Image width 240 mm; Axial slice
FLAIR MR image.
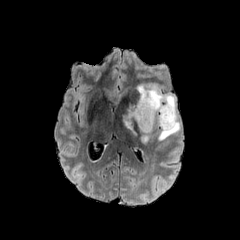
T1-weighted MR.
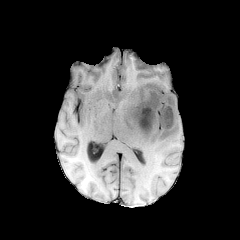
Post-contrast T1-weighted MR image.
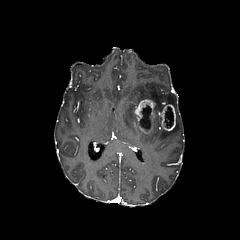
T2-weighted MR image.
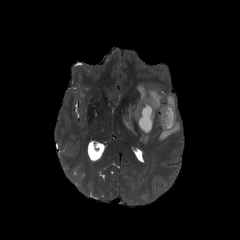
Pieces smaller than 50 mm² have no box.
2 necrotic tumor core regions are located at <bbox>164, 106, 173, 128</bbox>, <bbox>139, 105, 151, 130</bbox>. The 3 largest peritumoral edema regions are bounded by <bbox>122, 104, 136, 135</bbox>, <bbox>141, 133, 149, 143</bbox>, <bbox>136, 84, 180, 140</bbox>. 2 enhancing tumor regions are bounded by <bbox>159, 104, 176, 131</bbox>, <bbox>134, 99, 155, 133</bbox>.